Image covers 240 mm x 240 mm; Axial slice; Head
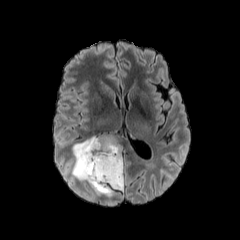
FLAIR MR.
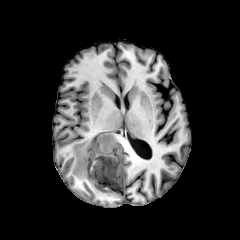
Same slice, T1-weighted MR.
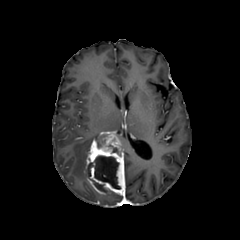
Post-contrast T1-weighted MR image.
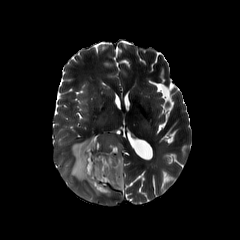
T2-weighted MRI.
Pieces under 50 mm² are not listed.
{
  "necrotic_tumor_core": [
    "(left=88, top=155, right=120, bottom=189)",
    "(left=91, top=179, right=105, bottom=191)"
  ],
  "peritumoral_edema": [
    "(left=90, top=185, right=101, bottom=197)",
    "(left=71, top=137, right=96, bottom=181)"
  ],
  "enhancing_tumor": [
    "(left=84, top=132, right=125, bottom=195)"
  ]
}